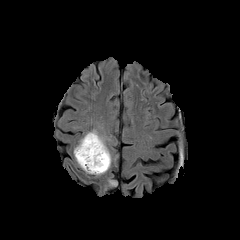
FLAIR magnetic resonance.
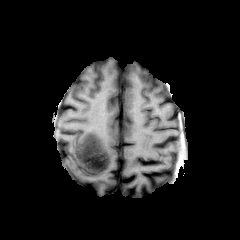
Same slice, T1-weighted MR image.
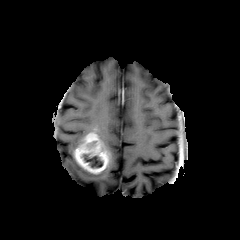
Post-contrast T1-weighted MR image.
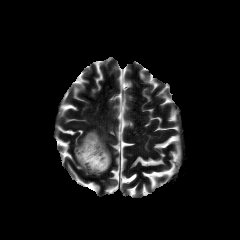
T2-weighted MRI of the same slice.
Image size 240x240, Axial slice, Head
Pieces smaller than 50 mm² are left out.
enhancing tumor = [x1=74, y1=132, x2=110, y2=173]
necrotic tumor core = [x1=83, y1=154, x2=102, y2=167]
peritumoral edema = [x1=85, y1=129, x2=109, y2=151], [x1=94, y1=155, x2=111, y2=175]